240x240 px; Brain; Slice 67 of 155
FLAIR MRI.
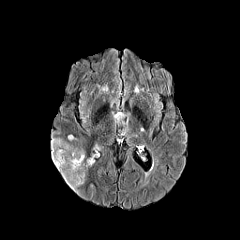
T1-weighted MRI.
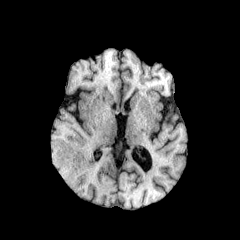
Post-contrast T1-weighted MR image.
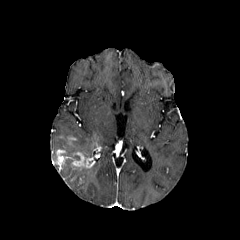
T2-weighted MR.
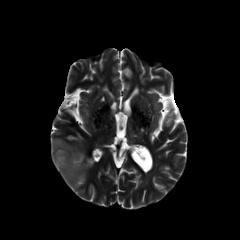
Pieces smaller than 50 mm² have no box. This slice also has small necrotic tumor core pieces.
enhancing tumor: bbox=[54, 149, 94, 169]
peritumoral edema: bbox=[51, 138, 85, 169]; bbox=[59, 159, 87, 192]